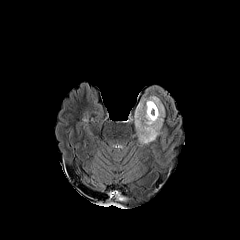
FLAIR MR image.
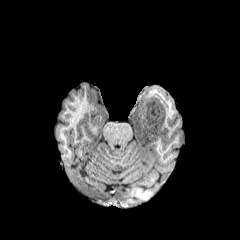
Same slice, T1-weighted MRI.
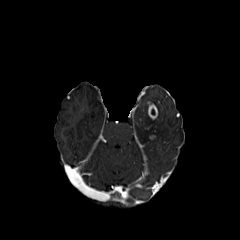
Post-contrast T1-weighted MRI of the same slice.
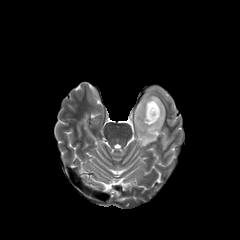
T2-weighted MRI of the same slice.
Head | Axial plane
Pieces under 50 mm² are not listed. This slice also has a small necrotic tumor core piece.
{
  "enhancing_tumor": [
    "rect(147, 101, 158, 119)"
  ],
  "peritumoral_edema": [
    "rect(134, 93, 164, 143)"
  ]
}